FLAIR magnetic resonance.
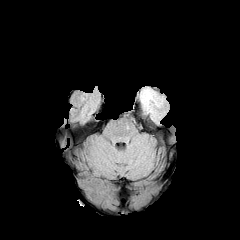
T1-weighted MR.
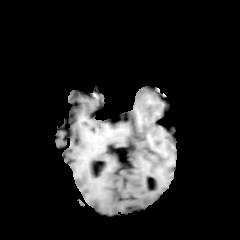
Post-contrast T1-weighted MR.
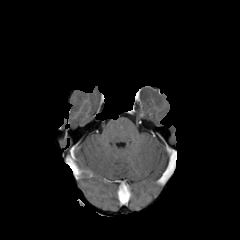
T2-weighted MR image.
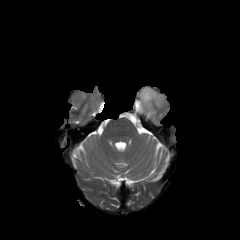
Head
peritumoral edema: 139 87 163 116